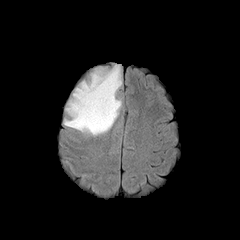
FLAIR MR image.
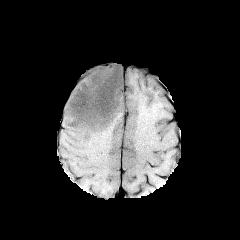
T1-weighted magnetic resonance.
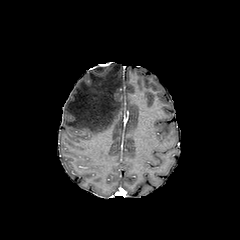
Post-contrast T1-weighted magnetic resonance.
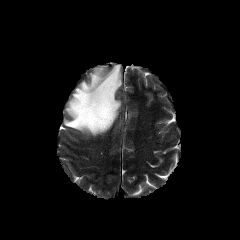
T2-weighted MR image.
Image size 240x240; Brain
* peritumoral edema: l=64, t=64, r=122, b=136